240x240. Brain.
FLAIR MR.
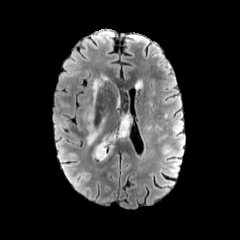
T1-weighted magnetic resonance.
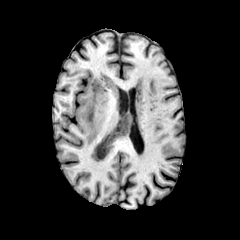
Post-contrast T1-weighted MRI.
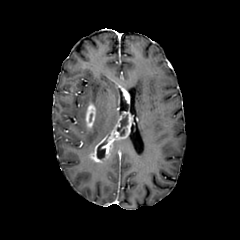
T2-weighted magnetic resonance.
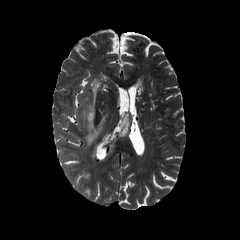
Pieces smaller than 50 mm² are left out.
peritumoral edema — <box>86,118,104,145</box>, <box>91,78,102,104</box>, <box>134,80,143,89</box>
enhancing tumor — <box>90,112,131,162</box>, <box>85,102,96,130</box>
necrotic tumor core — <box>97,140,106,159</box>, <box>117,115,127,136</box>